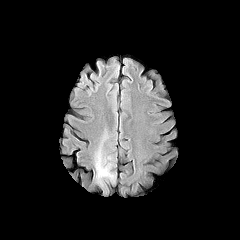
FLAIR MR.
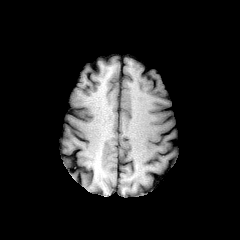
T1-weighted magnetic resonance.
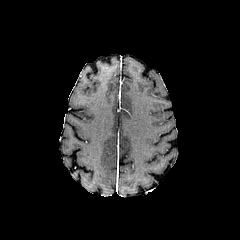
Post-contrast T1-weighted MR image.
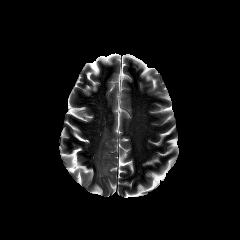
T2-weighted magnetic resonance.
Brain.
peritumoral edema: (96, 156, 112, 177)